Slice 89/155; 240x240; Brain
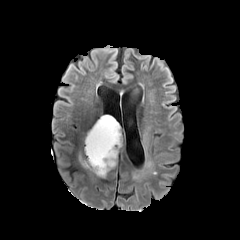
FLAIR magnetic resonance.
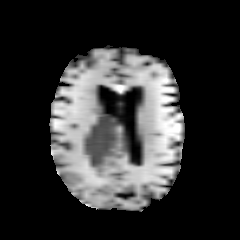
T1-weighted magnetic resonance of the same slice.
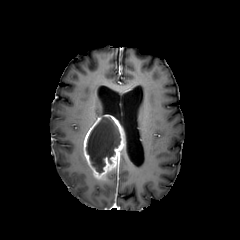
Post-contrast T1-weighted MRI.
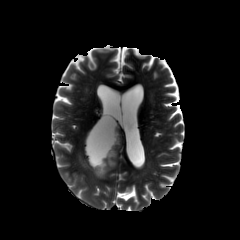
Same slice, T2-weighted MR.
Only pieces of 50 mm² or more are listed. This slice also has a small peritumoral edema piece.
The enhancing tumor is at region(83, 114, 125, 179). The necrotic tumor core lies within region(86, 117, 120, 173).